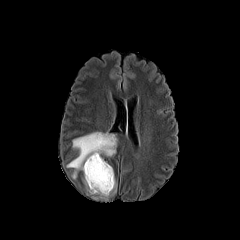
FLAIR magnetic resonance.
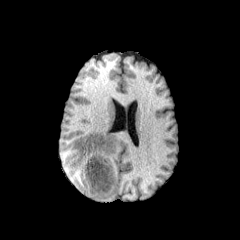
T1-weighted magnetic resonance.
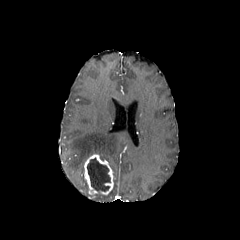
Post-contrast T1-weighted MR of the same slice.
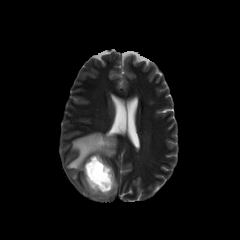
Same slice, T2-weighted MRI.
Brain
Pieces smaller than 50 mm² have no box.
The 2 largest peritumoral edema regions are bounded by 67 132 117 178, 99 179 116 199. The enhancing tumor is located at 84 154 114 195. The necrotic tumor core is located at 87 158 110 191.